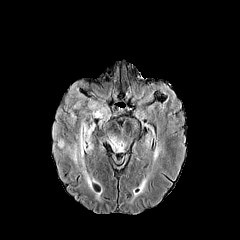
FLAIR MR.
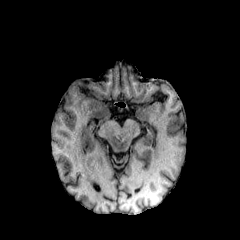
T1-weighted MRI of the same slice.
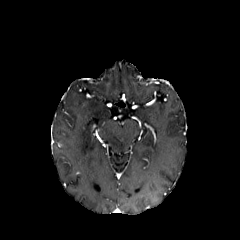
Post-contrast T1-weighted magnetic resonance.
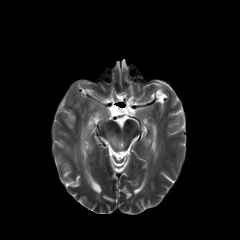
T2-weighted MR.
Image size 240x240; Axial slice
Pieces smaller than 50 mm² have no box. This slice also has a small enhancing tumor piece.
Findings:
• peritumoral edema: box(107, 135, 125, 153); box(93, 108, 107, 120); box(58, 122, 92, 187)